FLAIR MRI.
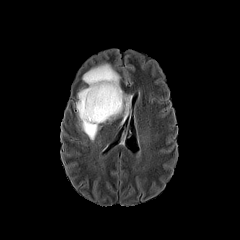
T1-weighted magnetic resonance.
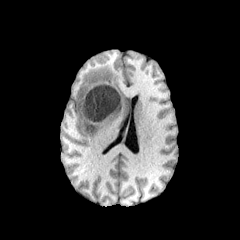
Post-contrast T1-weighted MR image.
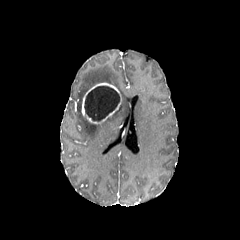
T2-weighted MRI.
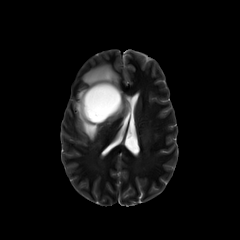
Brain
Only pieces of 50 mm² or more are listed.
Annotated regions:
• peritumoral edema: 77, 60, 132, 140
• necrotic tumor core: 84, 86, 119, 121
• enhancing tumor: 81, 82, 121, 123